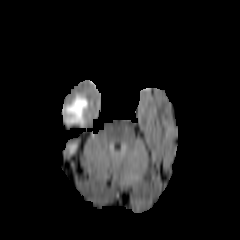
FLAIR MRI.
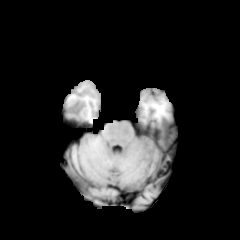
T1-weighted MR.
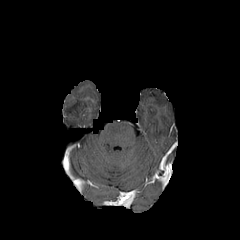
Same slice, post-contrast T1-weighted MR.
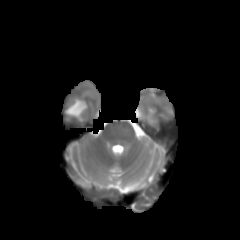
Same slice, T2-weighted MR.
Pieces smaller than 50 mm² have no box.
The 2 largest peritumoral edema regions are located at (62, 95, 87, 129), (66, 140, 77, 147).